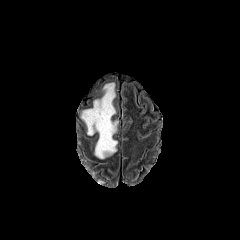
FLAIR MR image.
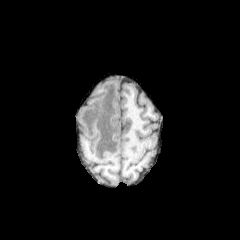
Same slice, T1-weighted MR image.
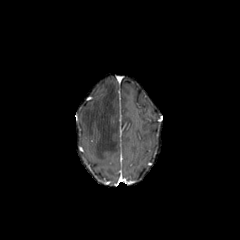
Post-contrast T1-weighted MR image of the same slice.
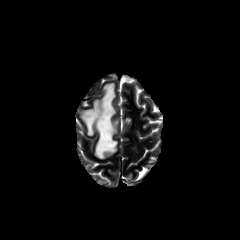
T2-weighted MRI.
{"peritumoral_edema": ["[80,82,118,159]"]}